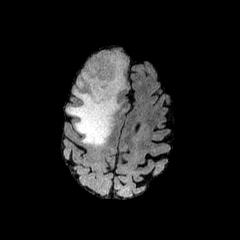
FLAIR MR.
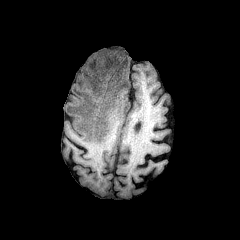
T1-weighted MR.
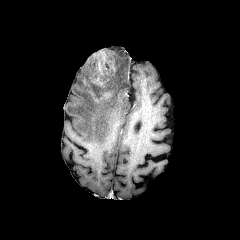
Same slice, post-contrast T1-weighted MR.
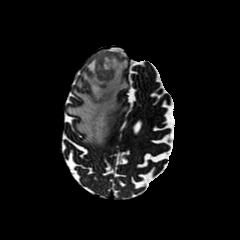
T2-weighted magnetic resonance.
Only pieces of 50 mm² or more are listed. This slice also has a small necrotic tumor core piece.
Annotated regions:
- enhancing tumor: box=[101, 89, 111, 98]; box=[88, 50, 116, 87]
- peritumoral edema: box=[66, 50, 127, 146]